FLAIR MR image.
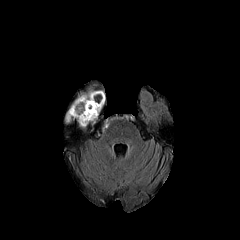
T1-weighted MR.
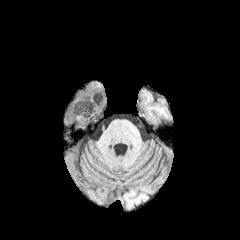
Post-contrast T1-weighted MR.
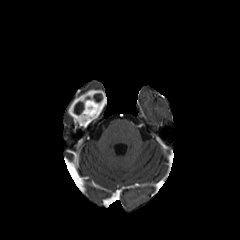
T2-weighted magnetic resonance.
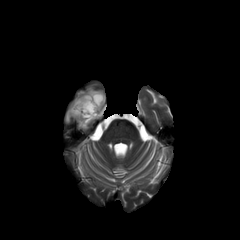
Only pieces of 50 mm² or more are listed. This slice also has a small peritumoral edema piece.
{
  "enhancing_tumor": [
    "(left=68, top=90, right=106, bottom=127)"
  ],
  "necrotic_tumor_core": [
    "(left=74, top=95, right=90, bottom=114)",
    "(left=93, top=93, right=102, bottom=102)"
  ]
}